Image covers 240 mm x 240 mm; Head
FLAIR magnetic resonance.
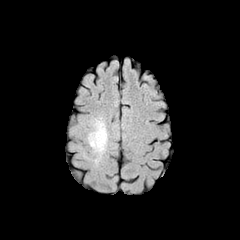
T1-weighted magnetic resonance.
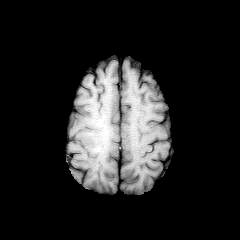
Post-contrast T1-weighted MR.
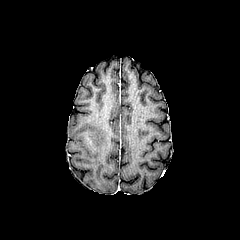
T2-weighted magnetic resonance.
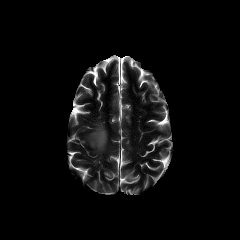
The enhancing tumor lies within [x1=87, y1=137, x2=95, y2=150]. The peritumoral edema is at [x1=86, y1=117, x2=108, y2=168].